Slice index 52; Image width 240 mm, 1.00 mm slice spacing
FLAIR MR.
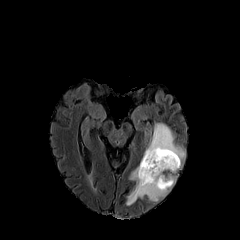
T1-weighted MR image.
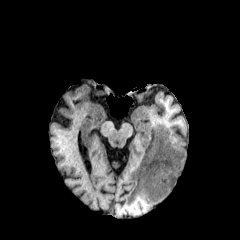
Post-contrast T1-weighted MR image.
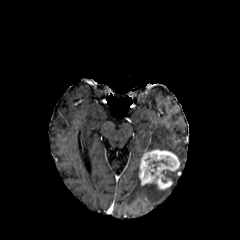
T2-weighted magnetic resonance.
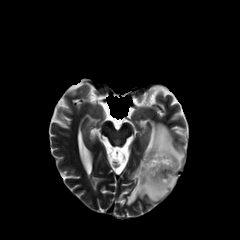
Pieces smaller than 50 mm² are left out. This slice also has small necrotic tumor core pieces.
The enhancing tumor lies within l=139, t=149, r=180, b=189. 2 peritumoral edema regions are located at l=126, t=165, r=176, b=205; l=145, t=123, r=185, b=169.